FLAIR MRI.
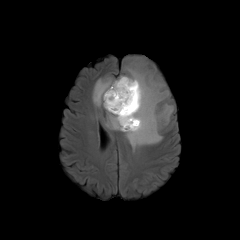
T1-weighted MR image.
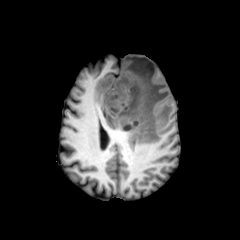
Post-contrast T1-weighted MR image.
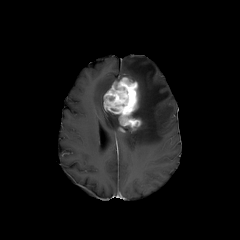
T2-weighted magnetic resonance.
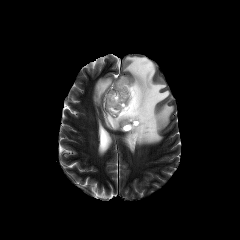
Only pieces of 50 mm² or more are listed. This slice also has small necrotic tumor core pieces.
2 peritumoral edema regions appear at rect(105, 111, 120, 130); rect(92, 57, 173, 150). The enhancing tumor is at rect(103, 77, 141, 132).